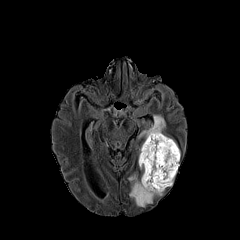
FLAIR MR image.
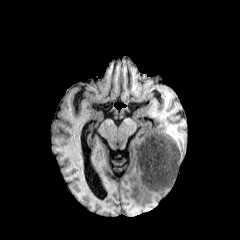
T1-weighted MR image.
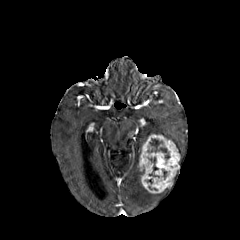
Post-contrast T1-weighted MR image of the same slice.
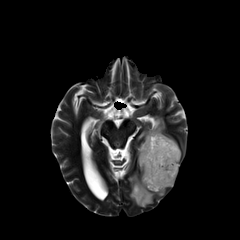
T2-weighted MRI.
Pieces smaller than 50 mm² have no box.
The 2 largest peritumoral edema regions are located at 138:115:180:157, 128:174:163:207. The enhancing tumor appears at 139:134:179:193. The 2 largest necrotic tumor core regions are bounded by 150:138:167:152, 149:157:158:171.